Brain, Image width 240 mm
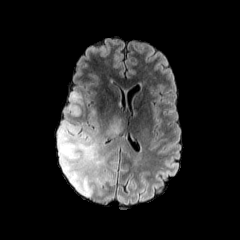
FLAIR MR image.
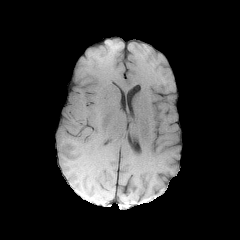
Same slice, T1-weighted magnetic resonance.
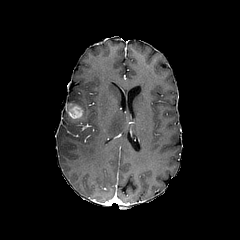
Post-contrast T1-weighted MR of the same slice.
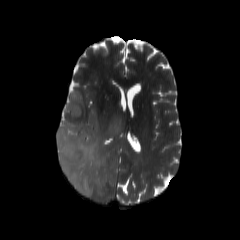
T2-weighted MRI.
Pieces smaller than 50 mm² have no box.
{
  "enhancing_tumor": [
    "box=[67, 103, 83, 119]"
  ],
  "peritumoral_edema": [
    "box=[57, 92, 114, 196]",
    "box=[106, 115, 123, 137]"
  ]
}